Axial plane, Slice 51 of 155, Head
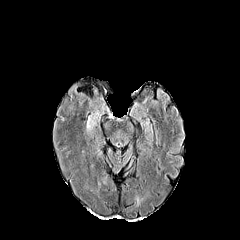
FLAIR MR.
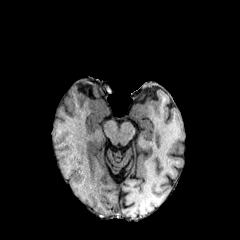
T1-weighted magnetic resonance.
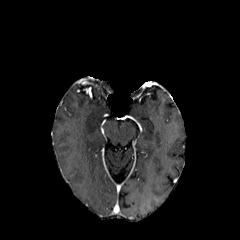
Post-contrast T1-weighted MRI of the same slice.
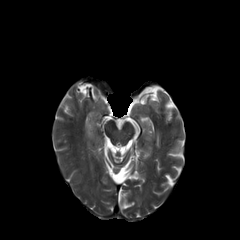
T2-weighted magnetic resonance of the same slice.
peritumoral edema: bounding box <bbox>87, 111, 99, 135</bbox>